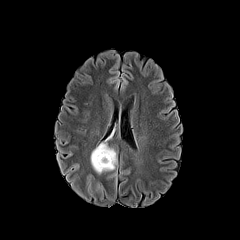
FLAIR MR.
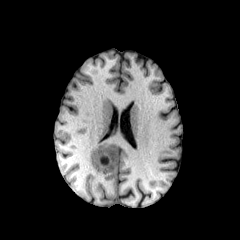
T1-weighted MR image.
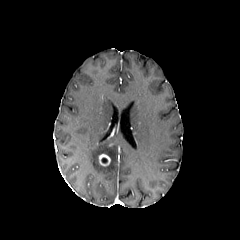
Post-contrast T1-weighted MR.
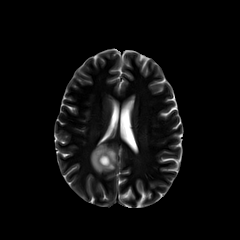
T2-weighted MRI of the same slice.
240x240 px; Head
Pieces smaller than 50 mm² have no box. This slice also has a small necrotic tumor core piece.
peritumoral edema: box(90, 142, 117, 173)
enhancing tumor: box(99, 154, 110, 166)